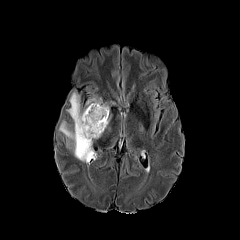
FLAIR MR image.
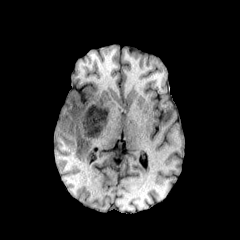
Same slice, T1-weighted MRI.
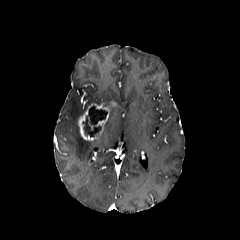
Same slice, post-contrast T1-weighted MR image.
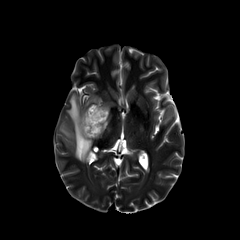
Same slice, T2-weighted magnetic resonance.
Brain. 240x240.
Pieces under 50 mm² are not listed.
Findings:
- enhancing tumor: [x1=78, y1=103, x2=109, y2=140]
- necrotic tumor core: [x1=82, y1=105, x2=107, y2=137]
- peritumoral edema: [x1=86, y1=95, x2=101, y2=106], [x1=59, y1=92, x2=93, y2=162]